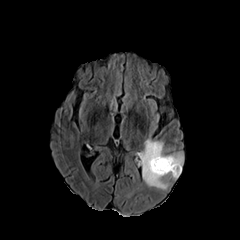
FLAIR magnetic resonance.
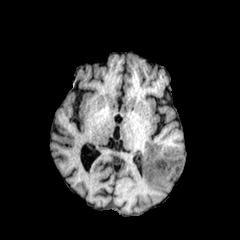
T1-weighted MR of the same slice.
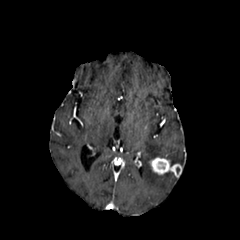
Same slice, post-contrast T1-weighted MRI.
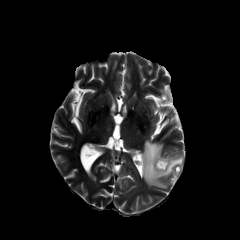
Same slice, T2-weighted MR image.
Axial plane | Head
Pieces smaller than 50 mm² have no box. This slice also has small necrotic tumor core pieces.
enhancing tumor at (149,157,181,176)
peritumoral edema at (140,139,183,189)